Head, Image width 240 mm, 1.00 mm slice spacing, Axial plane
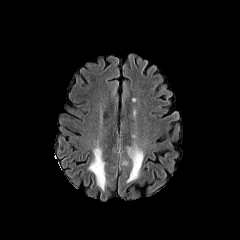
FLAIR MRI.
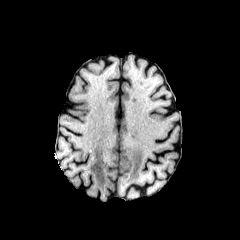
Same slice, T1-weighted MR image.
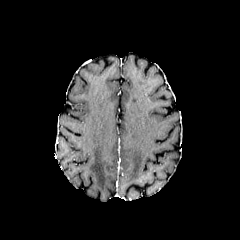
Post-contrast T1-weighted MRI.
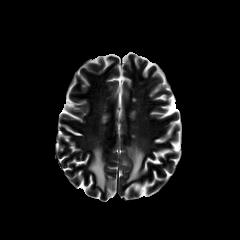
T2-weighted MRI of the same slice.
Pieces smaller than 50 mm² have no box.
Findings:
• peritumoral edema: 88 145 107 191, 126 144 144 182